FLAIR MRI.
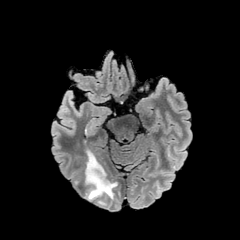
T1-weighted MRI.
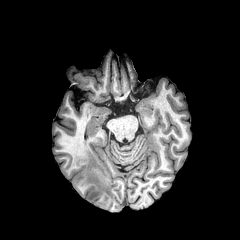
Post-contrast T1-weighted magnetic resonance.
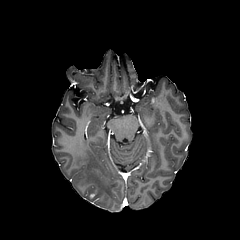
T2-weighted MRI.
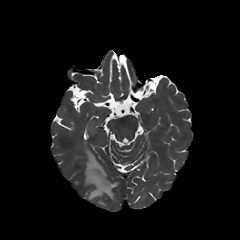
Axial plane
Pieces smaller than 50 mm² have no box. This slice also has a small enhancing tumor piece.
{"peritumoral_edema": ["box(75, 150, 117, 206)"]}